Image width 240 mm, 1.00 mm slice spacing | Axial slice | Slice 96/155 | Head
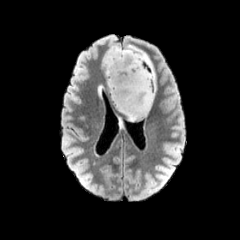
FLAIR magnetic resonance.
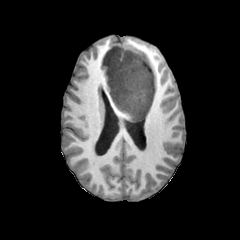
T1-weighted MR of the same slice.
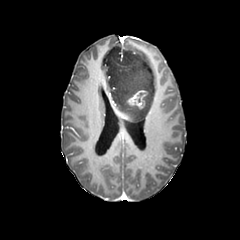
Post-contrast T1-weighted magnetic resonance of the same slice.
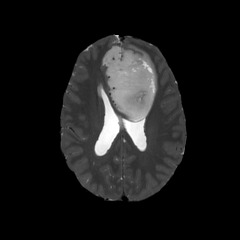
Same slice, T2-weighted magnetic resonance.
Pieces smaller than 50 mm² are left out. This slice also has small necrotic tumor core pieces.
Segmented structures:
- enhancing tumor: (127,90,147,109)
- peritumoral edema: (103,45,156,121)